FLAIR MR image.
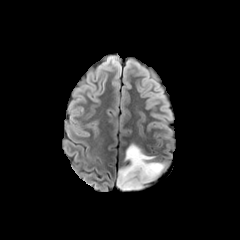
T1-weighted MR image.
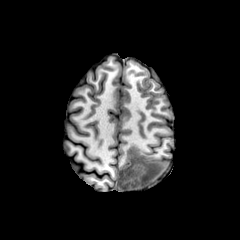
Post-contrast T1-weighted MR image.
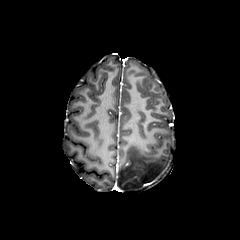
T2-weighted MRI.
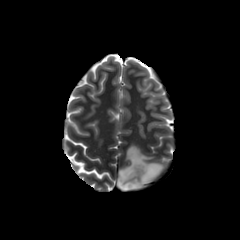
Brain; 240x240 px
The peritumoral edema is at bbox(117, 144, 165, 190).